FLAIR MRI.
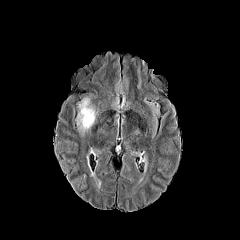
T1-weighted MR image.
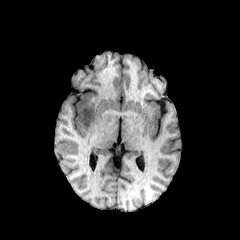
Post-contrast T1-weighted MRI.
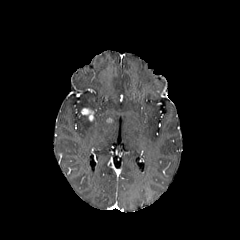
T2-weighted magnetic resonance.
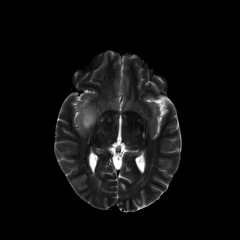
Brain
Annotated regions:
- peritumoral edema: box(77, 98, 96, 133)
- enhancing tumor: box(81, 108, 94, 121)